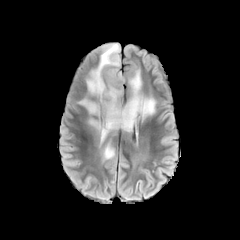
FLAIR MRI.
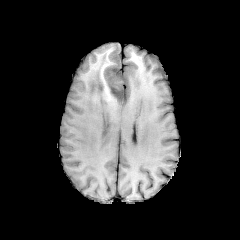
T1-weighted magnetic resonance.
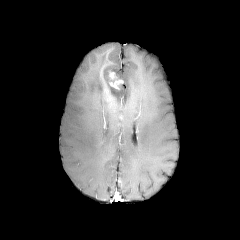
Same slice, post-contrast T1-weighted MRI.
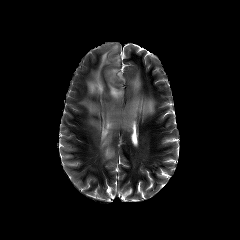
Same slice, T2-weighted magnetic resonance.
Brain
Segmented structures:
- enhancing tumor: {"x1": 104, "y1": 70, "x2": 123, "y2": 89}
- peritumoral edema: {"x1": 79, "y1": 98, "x2": 100, "y2": 117}, {"x1": 86, "y1": 43, "x2": 155, "y2": 147}, {"x1": 100, "y1": 141, "x2": 115, "y2": 163}